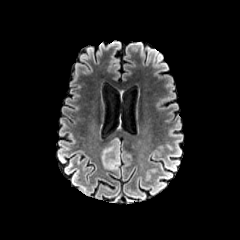
FLAIR magnetic resonance.
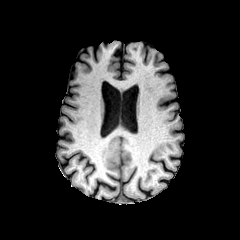
T1-weighted MRI.
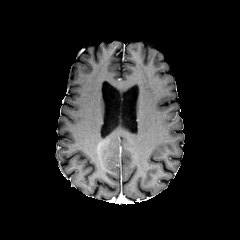
Post-contrast T1-weighted magnetic resonance of the same slice.
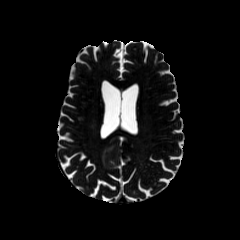
T2-weighted magnetic resonance.
The peritumoral edema lies within rect(102, 137, 119, 170).